FLAIR magnetic resonance.
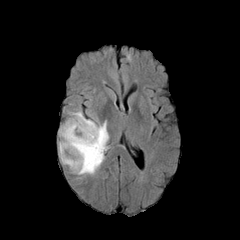
T1-weighted MRI.
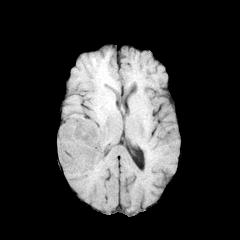
Post-contrast T1-weighted MRI.
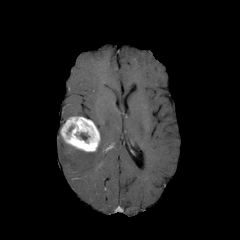
T2-weighted MRI.
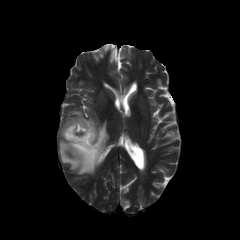
240x240
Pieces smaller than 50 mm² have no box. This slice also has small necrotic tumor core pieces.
<segmentation>
  <enhancing_tumor>region(60, 116, 100, 152)</enhancing_tumor>
  <peritumoral_edema>region(69, 110, 82, 116); region(59, 120, 109, 174)</peritumoral_edema>
</segmentation>